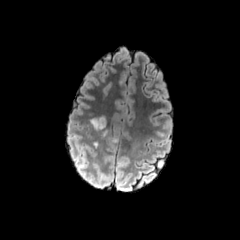
FLAIR magnetic resonance.
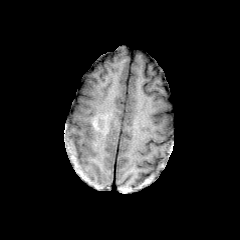
Same slice, T1-weighted MR image.
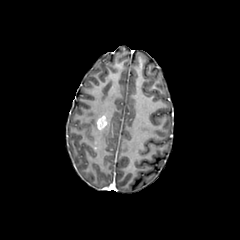
Post-contrast T1-weighted magnetic resonance.
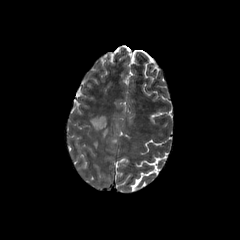
T2-weighted MRI.
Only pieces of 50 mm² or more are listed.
enhancing tumor: 96 116 107 131 | peritumoral edema: 90 118 98 131